FLAIR MRI.
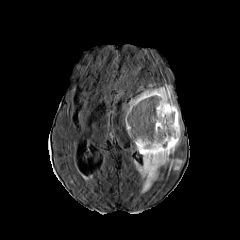
T1-weighted MRI.
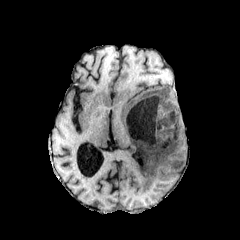
Post-contrast T1-weighted MR image.
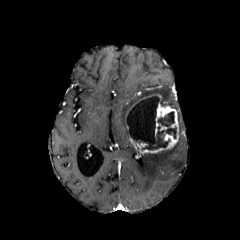
T2-weighted MR.
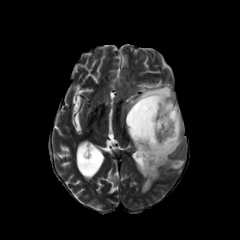
Axial slice
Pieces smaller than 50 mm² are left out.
{"peritumoral_edema": ["134:112:183:192", "123:84:177:113"], "necrotic_tumor_core": ["126:96:176:149"], "enhancing_tumor": ["130:102:178:154", "126:94:161:118"]}